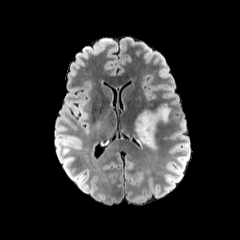
FLAIR magnetic resonance.
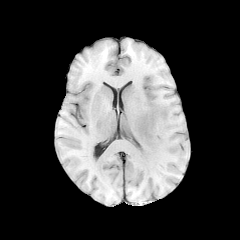
Same slice, T1-weighted magnetic resonance.
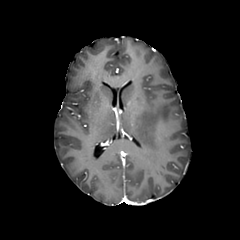
Post-contrast T1-weighted magnetic resonance of the same slice.
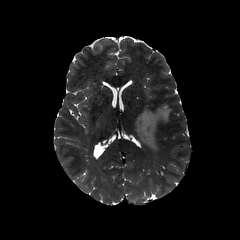
T2-weighted MR image.
240x240
peritumoral edema: bounding box [134, 104, 170, 149]